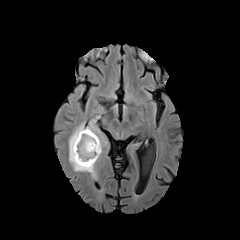
FLAIR MRI.
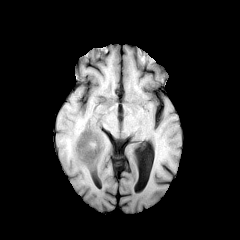
T1-weighted magnetic resonance.
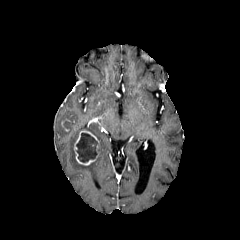
Post-contrast T1-weighted MR image.
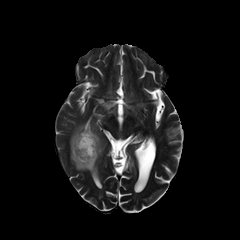
T2-weighted MR image of the same slice.
Axial slice. 240x240 px.
- peritumoral edema: {"x1": 69, "y1": 97, "x2": 109, "y2": 178}, {"x1": 74, "y1": 85, "x2": 85, "y2": 97}
- enhancing tumor: {"x1": 74, "y1": 130, "x2": 99, "y2": 165}
- necrotic tumor core: {"x1": 76, "y1": 133, "x2": 97, "y2": 162}